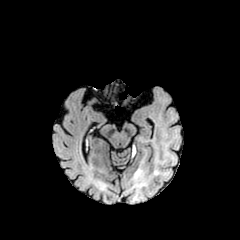
FLAIR MR.
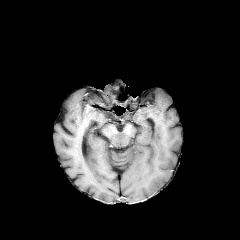
T1-weighted MRI of the same slice.
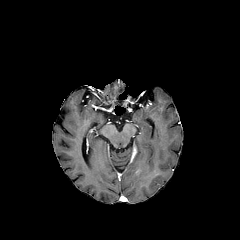
Post-contrast T1-weighted MR.
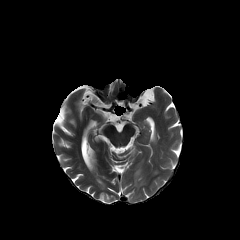
T2-weighted MR of the same slice.
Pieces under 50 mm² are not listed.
The largest peritumoral edema region lies within (x1=133, y1=165, x2=145, y2=187).